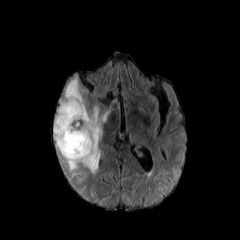
FLAIR MR.
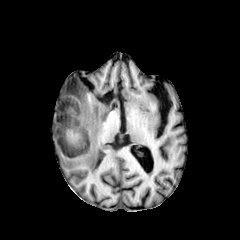
T1-weighted MRI.
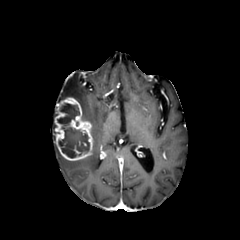
Post-contrast T1-weighted MRI.
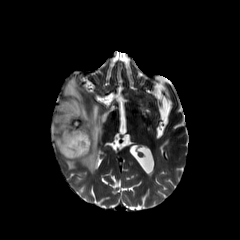
Same slice, T2-weighted MRI.
Brain
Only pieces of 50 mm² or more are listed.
{"peritumoral_edema": ["box(61, 75, 109, 174)"], "enhancing_tumor": ["box(54, 97, 92, 160)"], "necrotic_tumor_core": ["box(57, 103, 89, 157)"]}